FLAIR MR image.
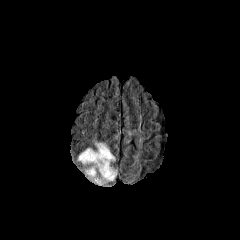
T1-weighted MR image.
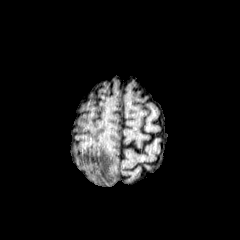
Post-contrast T1-weighted MR image.
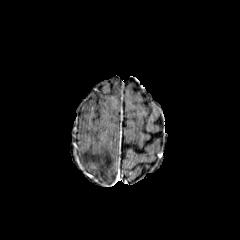
T2-weighted MR image.
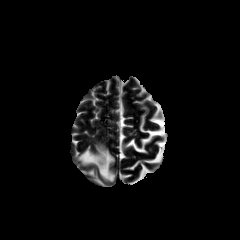
peritumoral edema at 78, 143, 116, 184